Head; Slice index 55; Image size 240x240
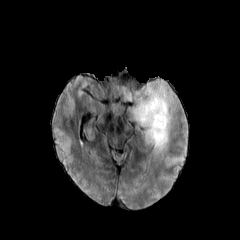
FLAIR MR image.
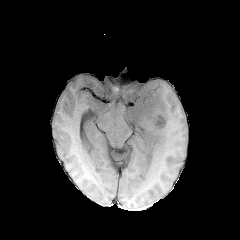
T1-weighted magnetic resonance.
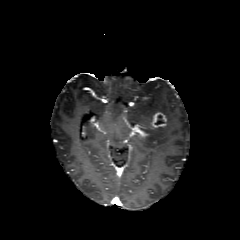
Post-contrast T1-weighted magnetic resonance of the same slice.
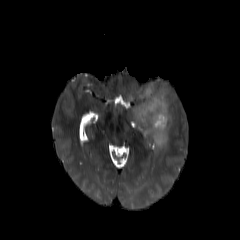
T2-weighted MRI.
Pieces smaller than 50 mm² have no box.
Annotated regions:
* enhancing tumor: 150,112,166,128
* necrotic tumor core: 155,115,164,124
* peritumoral edema: 131,82,171,151